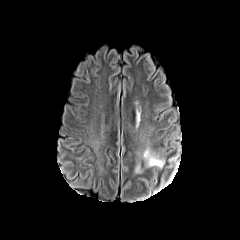
FLAIR MRI.
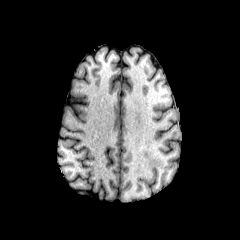
T1-weighted MR image of the same slice.
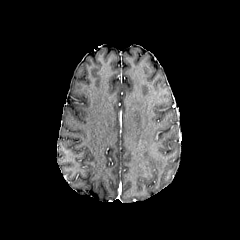
Post-contrast T1-weighted MRI.
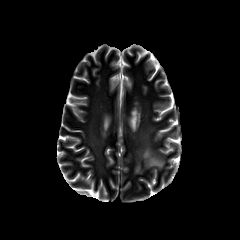
T2-weighted MR.
Axial plane
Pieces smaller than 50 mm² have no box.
peritumoral edema at 143:148:164:168